Head | 240x240 | Axial view
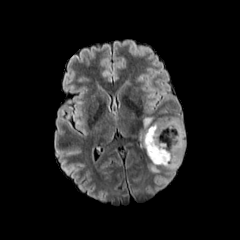
FLAIR MRI.
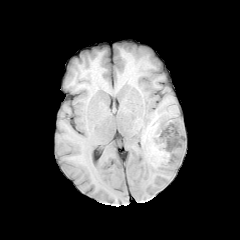
Same slice, T1-weighted MR.
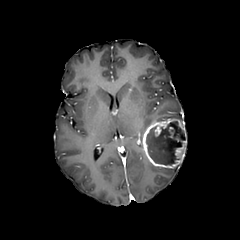
Post-contrast T1-weighted magnetic resonance.
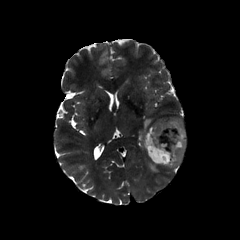
Same slice, T2-weighted MRI.
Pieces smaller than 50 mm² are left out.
<segmentation>
  <peritumoral_edema>161, 166, 178, 172; 149, 163, 160, 172; 143, 117, 152, 131</peritumoral_edema>
  <enhancing_tumor>142, 118, 186, 168</enhancing_tumor>
  <necrotic_tumor_core>146, 121, 185, 165</necrotic_tumor_core>
</segmentation>